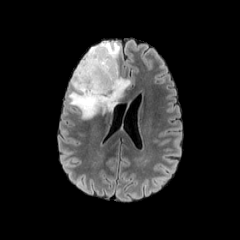
FLAIR magnetic resonance.
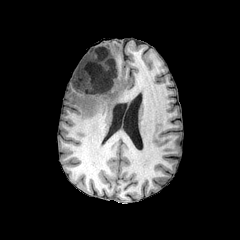
Same slice, T1-weighted MR image.
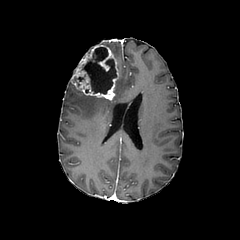
Same slice, post-contrast T1-weighted MR.
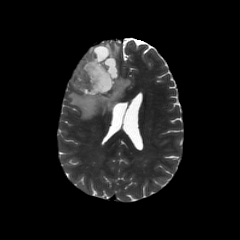
T2-weighted MR image.
Axial slice | Head
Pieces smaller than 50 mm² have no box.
peritumoral edema at x1=100, y1=41, x2=120, y2=59; x1=69, y1=72, x2=130, y2=119
necrotic tumor core at x1=81, y1=47, x2=116, y2=94
enhancing tumor at x1=71, y1=44, x2=118, y2=100